Brain. Image covers 240 mm x 240 mm. 240x240.
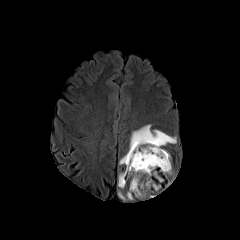
FLAIR MRI.
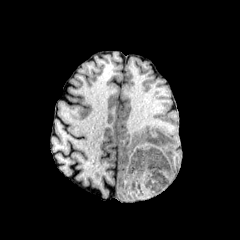
T1-weighted magnetic resonance.
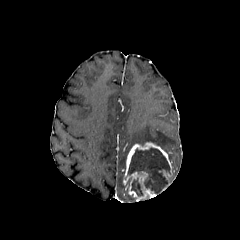
Post-contrast T1-weighted magnetic resonance.
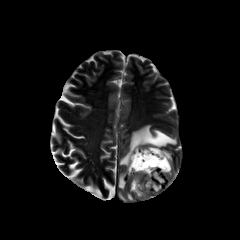
T2-weighted MR image.
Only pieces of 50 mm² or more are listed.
enhancing tumor: bounding box 123, 142, 173, 199
necrotic tumor core: bounding box 128, 148, 169, 192; 131, 179, 142, 195
peritumoral edema: bounding box 119, 153, 127, 164; 118, 172, 125, 189; 118, 190, 133, 200; 129, 124, 176, 150